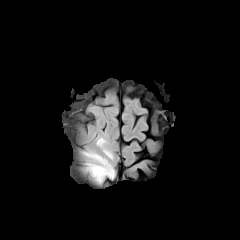
FLAIR MR image.
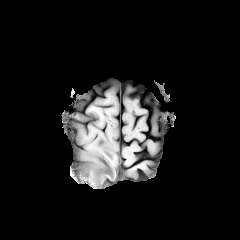
T1-weighted MR.
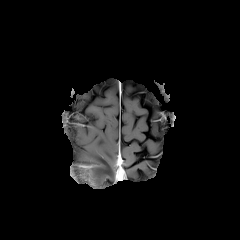
Post-contrast T1-weighted MR image.
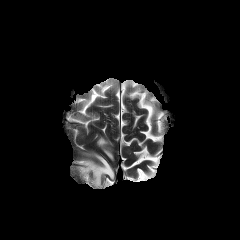
T2-weighted MR.
Axial slice | Head
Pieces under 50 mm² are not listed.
enhancing_tumor:
  - 79:157:107:174
peritumoral_edema:
  - 84:151:114:183
  - 96:137:113:159